FLAIR MRI.
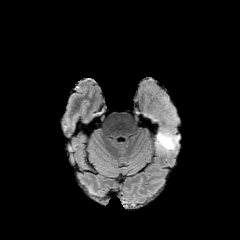
T1-weighted MR image.
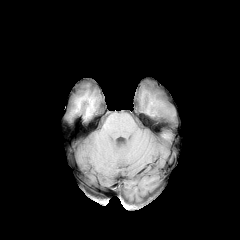
Post-contrast T1-weighted MR.
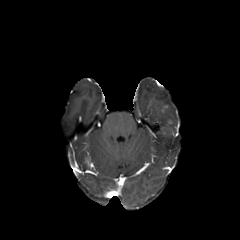
T2-weighted MRI.
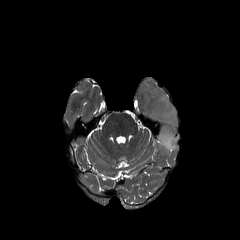
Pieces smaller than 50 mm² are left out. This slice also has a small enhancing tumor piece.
peritumoral_edema:
  - left=144, top=86, right=179, bottom=155